FLAIR magnetic resonance.
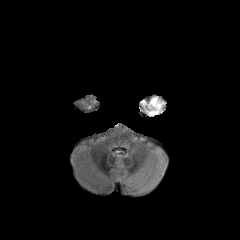
T1-weighted magnetic resonance.
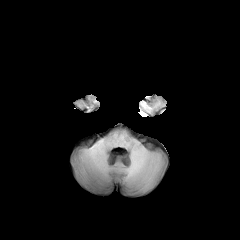
Post-contrast T1-weighted MRI.
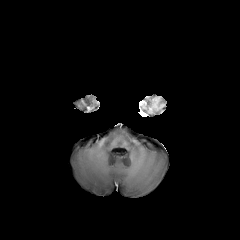
T2-weighted MRI.
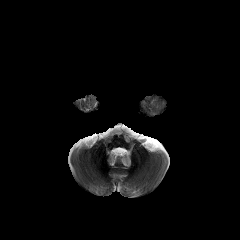
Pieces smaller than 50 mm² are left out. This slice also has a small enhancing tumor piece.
peritumoral edema at box=[148, 99, 163, 114]